FLAIR MRI.
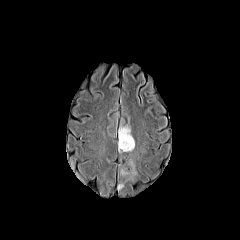
T1-weighted MRI.
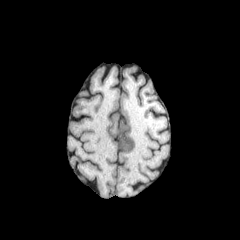
Post-contrast T1-weighted MR.
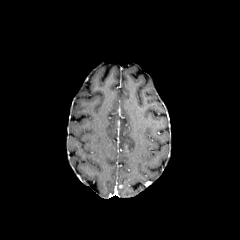
T2-weighted MR.
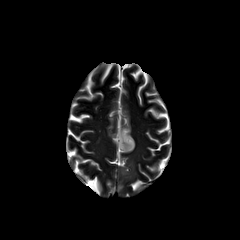
Head; 240x240 px
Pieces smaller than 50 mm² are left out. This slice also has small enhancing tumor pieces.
Segmented structures:
- peritumoral edema: left=120, top=160, right=136, bottom=179; left=118, top=126, right=135, bottom=152